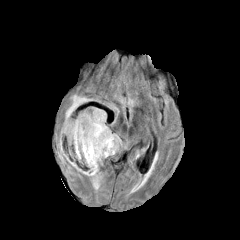
FLAIR magnetic resonance.
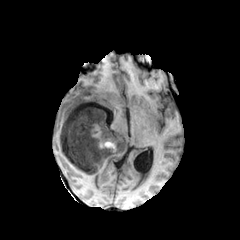
T1-weighted MRI.
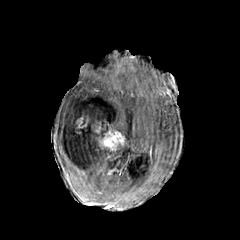
Post-contrast T1-weighted MR of the same slice.
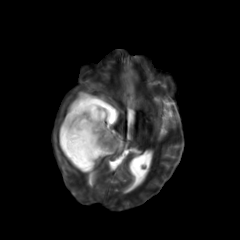
Same slice, T2-weighted MR.
Brain | 240x240
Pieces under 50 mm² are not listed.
peritumoral_edema:
  - {"x1": 67, "y1": 145, "x2": 122, "y2": 188}
  - {"x1": 62, "y1": 93, "x2": 119, "y2": 139}
enhancing_tumor:
  - {"x1": 76, "y1": 116, "x2": 88, "y2": 128}
  - {"x1": 98, "y1": 129, "x2": 124, "y2": 150}
necrotic_tumor_core:
  - {"x1": 61, "y1": 118, "x2": 98, "y2": 167}